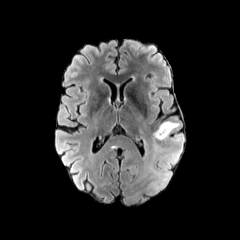
FLAIR MRI.
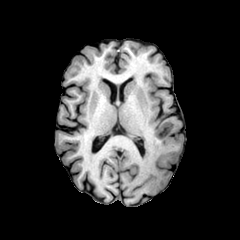
T1-weighted magnetic resonance.
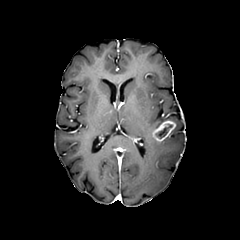
Same slice, post-contrast T1-weighted magnetic resonance.
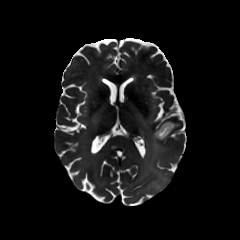
T2-weighted MR image.
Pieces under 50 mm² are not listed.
The largest peritumoral edema region lies within rect(151, 143, 167, 174). The necrotic tumor core is located at rect(156, 125, 172, 138). The enhancing tumor is at rect(152, 120, 175, 141).